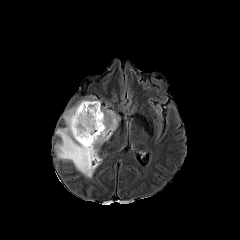
FLAIR MRI.
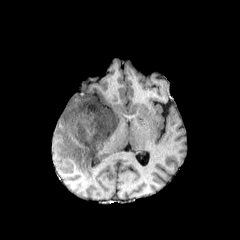
T1-weighted MR.
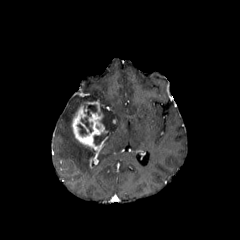
Post-contrast T1-weighted MRI.
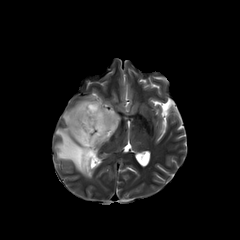
Same slice, T2-weighted MR.
Brain. Image size 240x240.
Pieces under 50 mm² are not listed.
peritumoral edema: 55,96,102,178; 101,107,120,140 | enhancing tumor: 71,101,108,149; 89,153,97,168 | necrotic tumor core: 78,124,87,135; 94,133,107,145; 81,117,92,132; 87,105,96,116